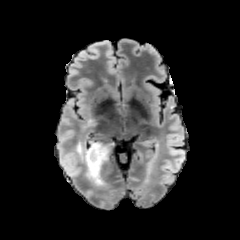
FLAIR MR image.
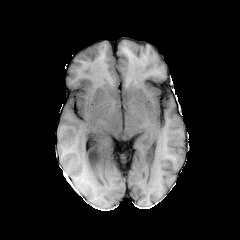
T1-weighted MRI.
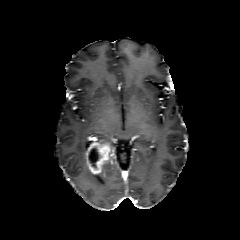
Post-contrast T1-weighted MR.
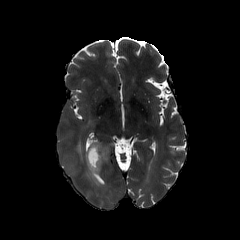
T2-weighted MR image.
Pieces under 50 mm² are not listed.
enhancing tumor: bounding box (85, 141, 112, 175)
necrotic tumor core: bounding box (88, 148, 98, 167)
peritumoral edema: bounding box (75, 140, 101, 186)